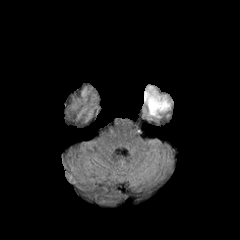
FLAIR magnetic resonance.
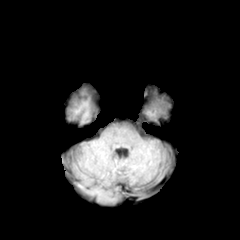
T1-weighted MRI.
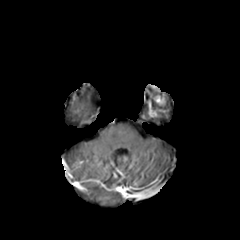
Post-contrast T1-weighted magnetic resonance.
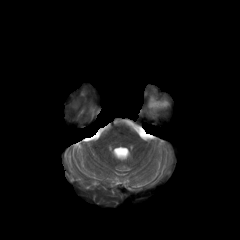
Same slice, T2-weighted MR.
Brain | Axial plane
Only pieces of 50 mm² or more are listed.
peritumoral edema: bbox=[164, 96, 170, 109]
necrotic tumor core: bbox=[151, 99, 164, 109]
enhancing tumor: bbox=[144, 88, 168, 117]